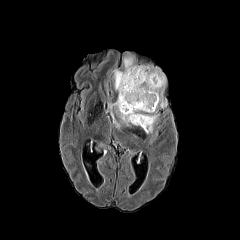
FLAIR MR.
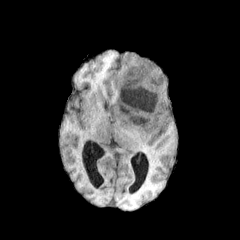
T1-weighted MR.
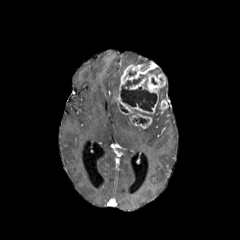
Post-contrast T1-weighted MRI.
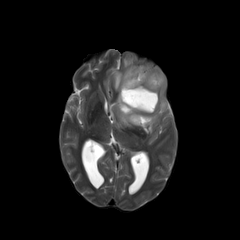
T2-weighted magnetic resonance of the same slice.
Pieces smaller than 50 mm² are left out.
The 2 largest necrotic tumor core regions are bounded by bbox(132, 117, 149, 124); bbox(120, 74, 157, 111). The 2 largest enhancing tumor regions are located at bbox(160, 100, 167, 109); bbox(117, 63, 166, 128). The 5 largest peritumoral edema regions appear at bbox(123, 56, 133, 67); bbox(159, 87, 163, 101); bbox(108, 101, 130, 128); bbox(144, 105, 158, 133); bbox(112, 69, 122, 91).